Axial view; Brain; Image covers 240 mm x 240 mm; 240x240 px
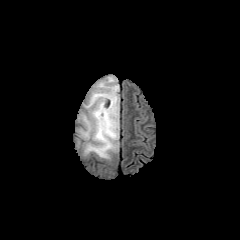
FLAIR MRI.
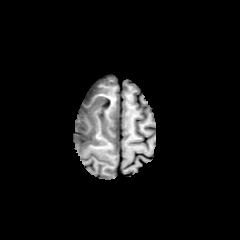
T1-weighted MR image of the same slice.
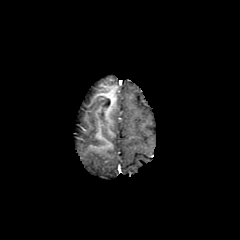
Same slice, post-contrast T1-weighted MR image.
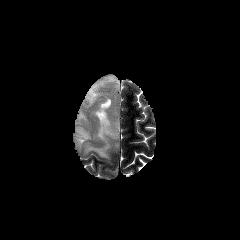
T2-weighted MR.
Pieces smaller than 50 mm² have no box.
<segmentation>
  <peritumoral_edema>region(75, 75, 119, 159)</peritumoral_edema>
  <enhancing_tumor>region(102, 92, 115, 118); region(95, 103, 109, 125)</enhancing_tumor>
  <necrotic_tumor_core>region(97, 98, 110, 123)</necrotic_tumor_core>
</segmentation>